Slice 85 of 155; Axial view; Brain
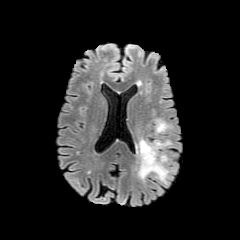
FLAIR MR image.
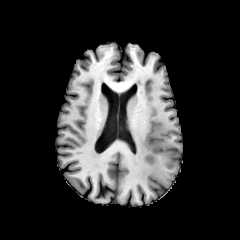
T1-weighted MR.
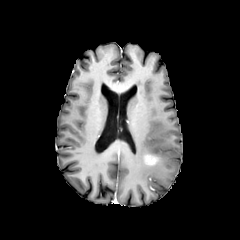
Same slice, post-contrast T1-weighted MR.
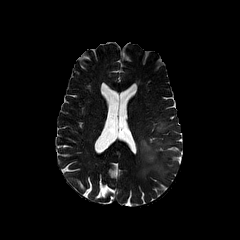
T2-weighted magnetic resonance.
2 peritumoral edema regions are located at (left=156, top=123, right=166, bottom=132), (left=138, top=139, right=168, bottom=181). The enhancing tumor is bounded by (left=144, top=154, right=158, bottom=165).